Brain, Image width 240 mm, 240x240 px
FLAIR MR image.
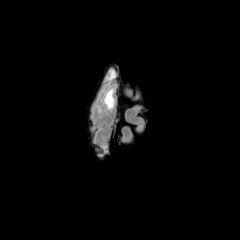
T1-weighted MRI.
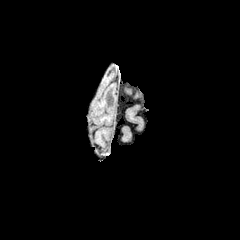
Post-contrast T1-weighted MR.
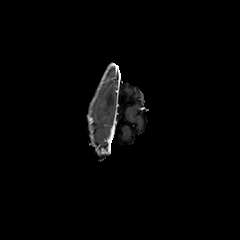
T2-weighted MR image.
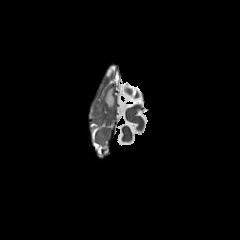
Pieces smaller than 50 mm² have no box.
The 2 largest peritumoral edema regions are located at box=[107, 67, 117, 78]; box=[104, 88, 114, 109].